Image size 240x240. Axial view. Image covers 240 mm x 240 mm. Slice 112/155.
FLAIR MRI.
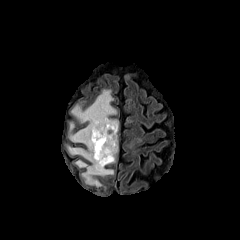
T1-weighted MR.
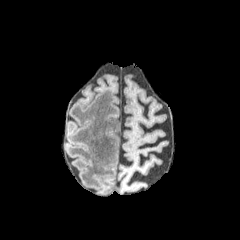
Post-contrast T1-weighted MR.
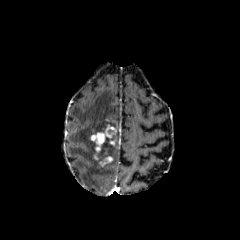
T2-weighted MRI.
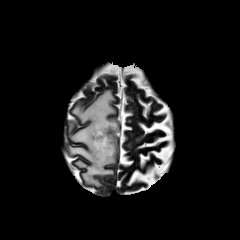
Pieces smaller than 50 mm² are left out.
peritumoral edema: <bbox>67, 89, 117, 187</bbox> | necrotic tumor core: <bbox>102, 137, 109, 151</bbox> | enhancing tumor: <bbox>98, 156, 112, 166</bbox>, <bbox>90, 119, 119, 160</bbox>